FLAIR magnetic resonance.
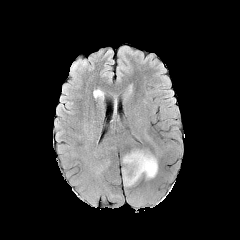
T1-weighted MR image.
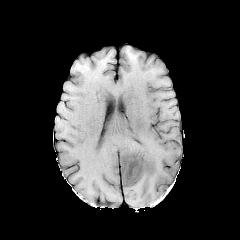
Post-contrast T1-weighted MRI.
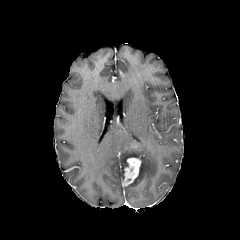
T2-weighted magnetic resonance.
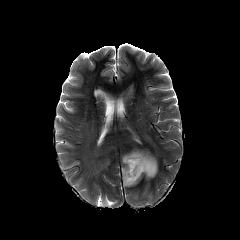
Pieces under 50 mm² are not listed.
enhancing tumor: region(123, 157, 141, 185) | peritumoral edema: region(122, 150, 157, 186)